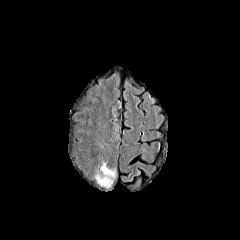
FLAIR MRI.
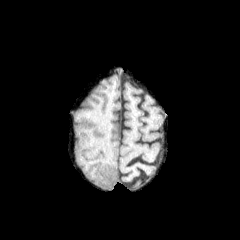
T1-weighted magnetic resonance.
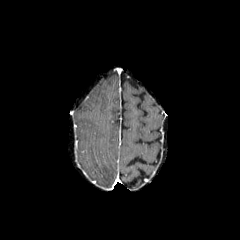
Same slice, post-contrast T1-weighted magnetic resonance.
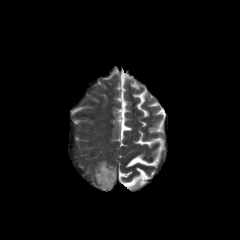
T2-weighted MR image of the same slice.
240x240 | Head
The peritumoral edema appears at <bbox>94, 163, 117, 189</bbox>.